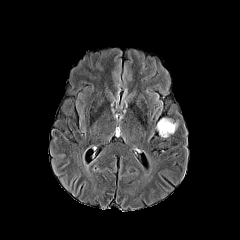
FLAIR magnetic resonance.
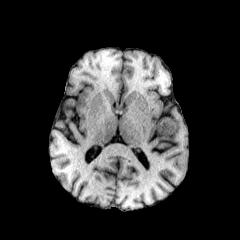
T1-weighted MR.
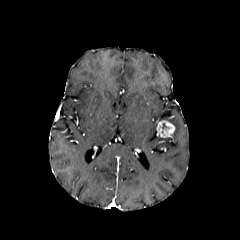
Post-contrast T1-weighted MR image.
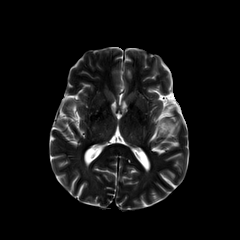
T2-weighted MRI of the same slice.
Axial slice; Brain
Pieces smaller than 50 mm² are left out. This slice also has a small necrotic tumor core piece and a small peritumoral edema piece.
- enhancing tumor: 156:120:175:137